Slice 78 of 155
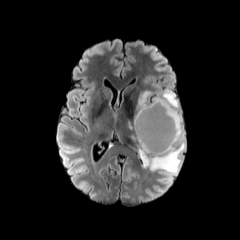
FLAIR magnetic resonance.
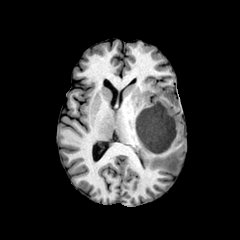
T1-weighted magnetic resonance.
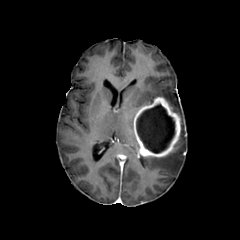
Post-contrast T1-weighted magnetic resonance.
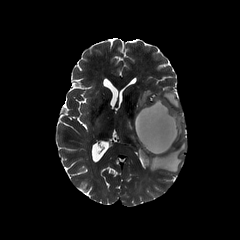
T2-weighted MR image.
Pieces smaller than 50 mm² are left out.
<segmentation>
  <peritumoral_edema>(left=140, top=88, right=185, bottom=174), (left=137, top=91, right=151, bottom=110)</peritumoral_edema>
  <necrotic_tumor_core>(left=136, top=104, right=175, bottom=153)</necrotic_tumor_core>
  <enhancing_tumor>(left=133, top=97, right=180, bottom=157)</enhancing_tumor>
</segmentation>